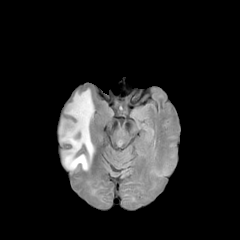
FLAIR magnetic resonance.
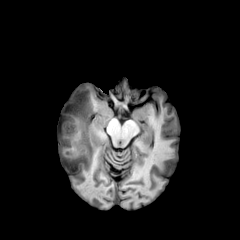
T1-weighted MR of the same slice.
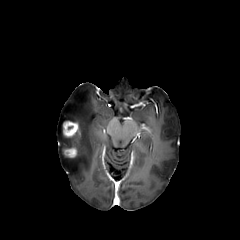
Post-contrast T1-weighted magnetic resonance of the same slice.
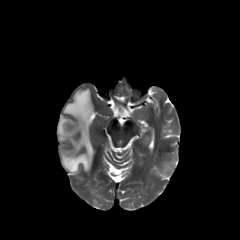
T2-weighted magnetic resonance.
Axial slice | Head
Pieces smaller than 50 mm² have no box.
{"peritumoral_edema": ["box=[58, 118, 67, 143]", "box=[62, 89, 94, 171]"], "enhancing_tumor": ["box=[63, 147, 77, 157]", "box=[63, 120, 79, 137]"], "necrotic_tumor_core": ["box=[63, 138, 73, 148]"]}